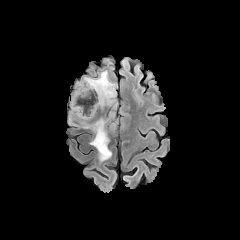
FLAIR MR image.
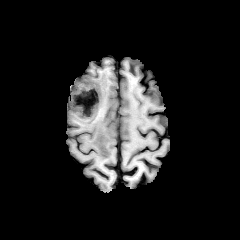
Same slice, T1-weighted MR image.
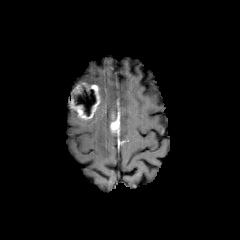
Post-contrast T1-weighted MR image.
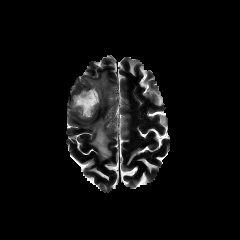
T2-weighted magnetic resonance of the same slice.
Brain
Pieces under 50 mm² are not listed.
Findings:
- necrotic tumor core: box=[74, 86, 96, 116]
- enhancing tumor: box=[69, 82, 100, 119]; box=[110, 112, 120, 133]
- peritumoral edema: box=[84, 71, 115, 105]; box=[90, 119, 111, 160]